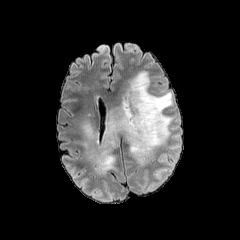
FLAIR magnetic resonance.
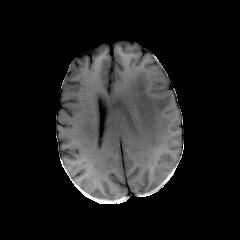
T1-weighted magnetic resonance.
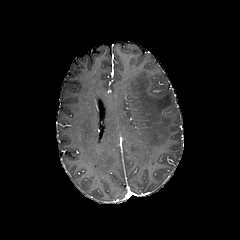
Post-contrast T1-weighted MRI.
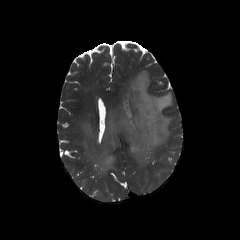
T2-weighted MR image.
240x240 px. Head. Axial plane.
Annotated regions:
• peritumoral edema: bbox=[81, 71, 173, 174]